Axial view | Brain
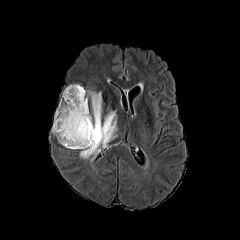
FLAIR MR image.
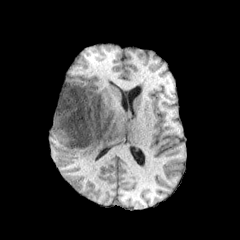
T1-weighted magnetic resonance.
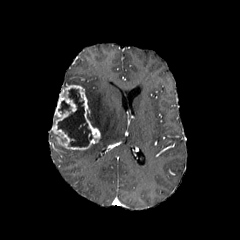
Post-contrast T1-weighted MR of the same slice.
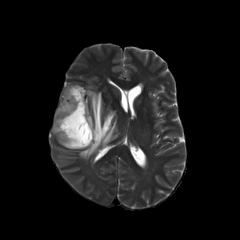
T2-weighted MRI.
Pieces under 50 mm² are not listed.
The largest peritumoral edema region is bounded by left=79, top=90, right=117, bottom=160. The largest enhancing tumor region appears at left=51, top=84, right=100, bottom=150. 2 necrotic tumor core regions appear at left=58, top=101, right=70, bottom=112; left=58, top=88, right=92, bottom=147.